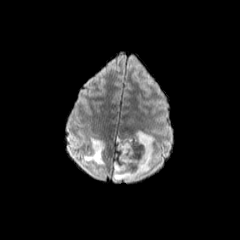
FLAIR MR image.
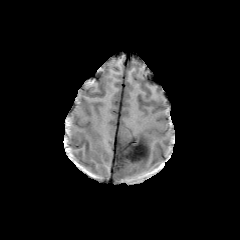
T1-weighted MR image.
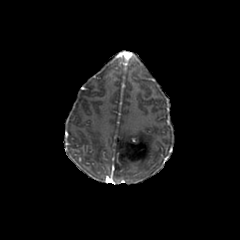
Post-contrast T1-weighted MRI.
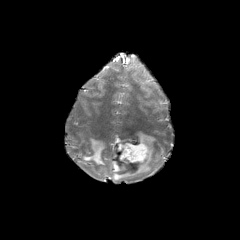
T2-weighted magnetic resonance.
Head, Axial view
peritumoral edema: (x1=112, y1=131, x2=154, y2=178), (x1=81, y1=137, x2=104, y2=164)